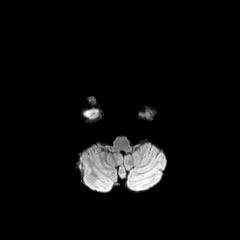
FLAIR MRI.
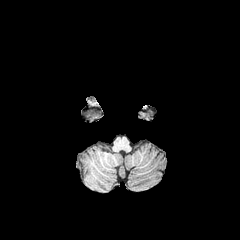
T1-weighted MRI.
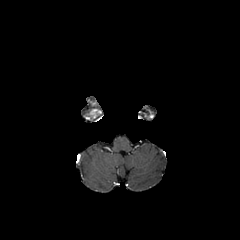
Post-contrast T1-weighted MRI.
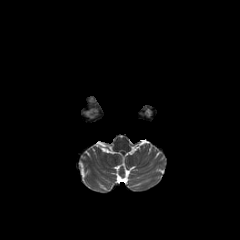
T2-weighted magnetic resonance.
240x240 px.
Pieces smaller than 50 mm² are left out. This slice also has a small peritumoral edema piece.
enhancing tumor: x1=88, y1=108, x2=99, y2=118